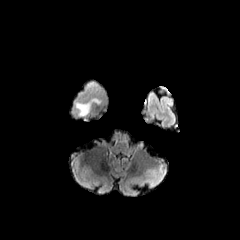
FLAIR MRI.
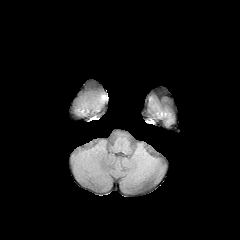
T1-weighted MR image.
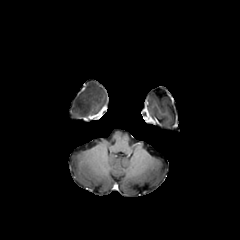
Post-contrast T1-weighted MR.
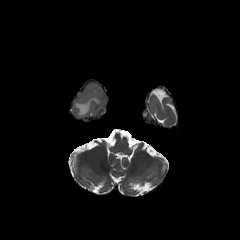
T2-weighted MR of the same slice.
Brain, Axial view
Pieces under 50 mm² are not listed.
peritumoral_edema:
  - (74, 98, 101, 116)